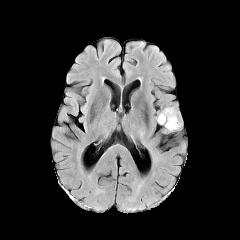
FLAIR MRI.
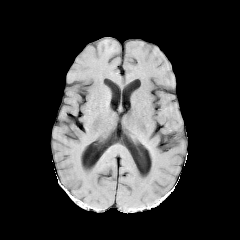
T1-weighted magnetic resonance of the same slice.
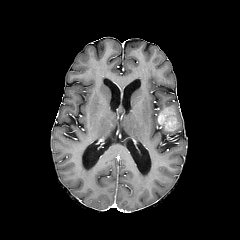
Post-contrast T1-weighted MR image.
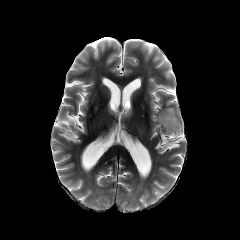
T2-weighted MRI.
Image size 240x240
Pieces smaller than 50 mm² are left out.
enhancing tumor: bbox=[158, 107, 179, 131] | peritumoral edema: bbox=[172, 107, 182, 130]